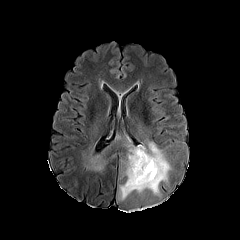
FLAIR MRI.
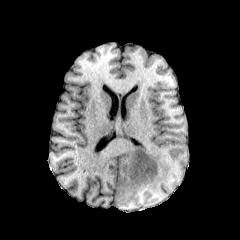
T1-weighted MR image.
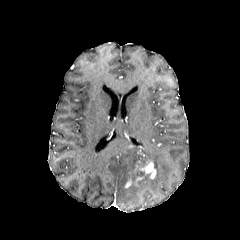
Same slice, post-contrast T1-weighted MRI.
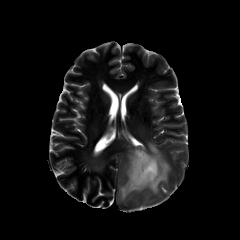
T2-weighted MR image of the same slice.
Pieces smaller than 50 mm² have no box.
necrotic_tumor_core:
  - 129, 154, 150, 184
enhancing_tumor:
  - 125, 176, 143, 187
  - 135, 160, 156, 179
peritumoral_edema:
  - 118, 142, 171, 200